240x240 px | Head | Axial view
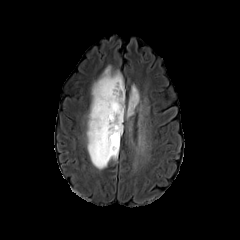
FLAIR MRI.
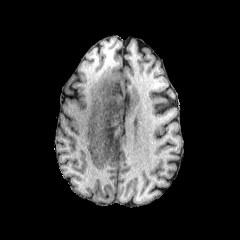
Same slice, T1-weighted MR.
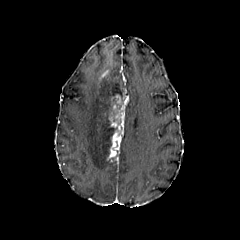
Post-contrast T1-weighted MR image of the same slice.
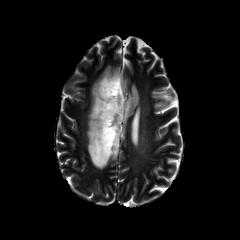
T2-weighted magnetic resonance.
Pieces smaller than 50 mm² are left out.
Segmented structures:
• necrotic tumor core: left=109, top=118, right=121, bottom=139; left=113, top=78, right=123, bottom=97
• enhancing tumor: left=107, top=89, right=125, bottom=160; left=100, top=70, right=110, bottom=79
• peritumoral edema: left=86, top=65, right=124, bottom=169; left=125, top=84, right=139, bottom=118